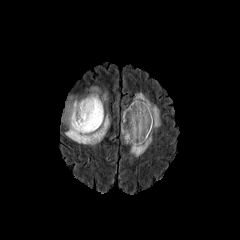
FLAIR MR image.
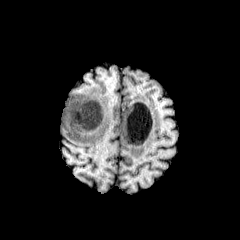
T1-weighted MR.
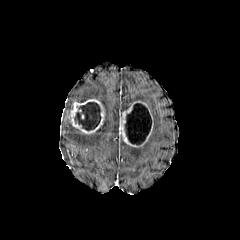
Post-contrast T1-weighted MR image.
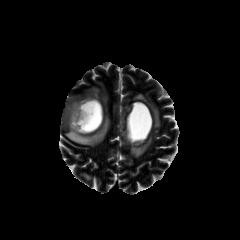
T2-weighted MR image.
Axial view | 240x240 px
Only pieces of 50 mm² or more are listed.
The 4 largest peritumoral edema regions appear at (x1=75, y1=87, x2=106, y2=106), (x1=65, y1=114, x2=110, y2=145), (x1=130, y1=134, x2=152, y2=157), (x1=133, y1=93, x2=160, y2=128). The 2 largest enhancing tumor regions are bounded by (x1=120, y1=101, x2=153, y2=147), (x1=65, y1=98, x2=104, y2=134). 2 necrotic tumor core regions are bounded by (x1=125, y1=103, x2=151, y2=144), (x1=74, y1=102, x2=100, y2=130).